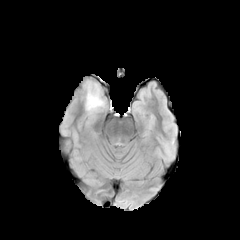
FLAIR MR image.
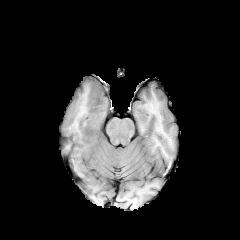
T1-weighted magnetic resonance.
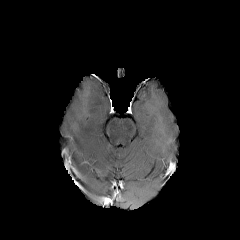
Post-contrast T1-weighted MRI.
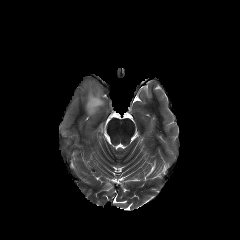
Same slice, T2-weighted magnetic resonance.
Image size 240x240.
The peritumoral edema lies within (84,81,104,114).